Axial slice | Brain
FLAIR MR.
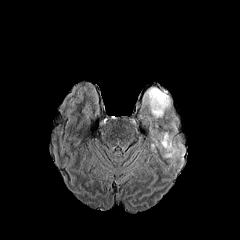
T1-weighted MR.
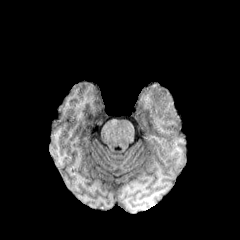
Post-contrast T1-weighted MR image.
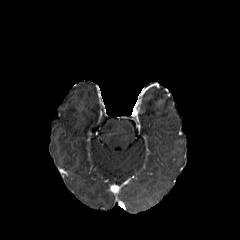
T2-weighted MR image.
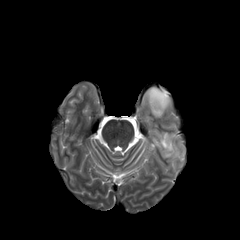
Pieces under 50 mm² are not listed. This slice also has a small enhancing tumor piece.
peritumoral edema — bbox(160, 132, 177, 157); bbox(143, 87, 170, 118)